Axial view; 240x240; Slice 76 of 155; Head
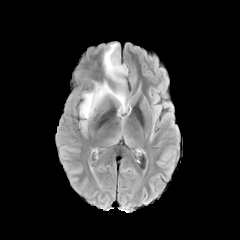
FLAIR MRI.
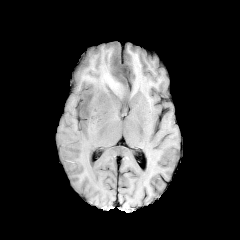
T1-weighted MRI of the same slice.
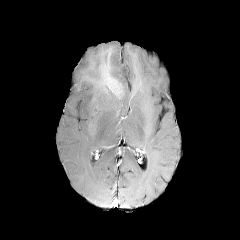
Post-contrast T1-weighted magnetic resonance.
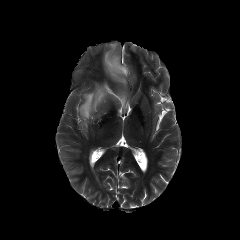
Same slice, T2-weighted MRI.
peritumoral edema: bbox(79, 43, 128, 136)